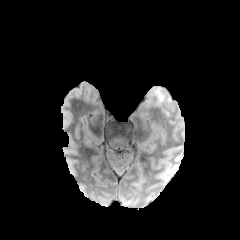
FLAIR MR.
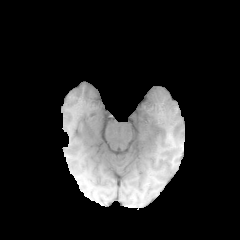
T1-weighted MR.
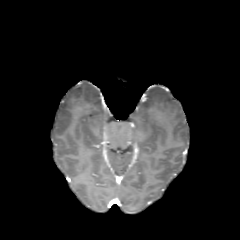
Post-contrast T1-weighted MR image of the same slice.
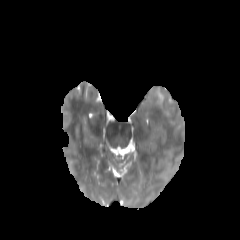
T2-weighted MRI of the same slice.
240x240 px, Head
Annotated regions:
* peritumoral edema: (left=154, top=87, right=171, bottom=105)